Image size 240x240; Axial view
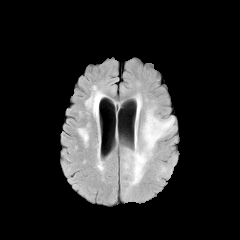
FLAIR MR image.
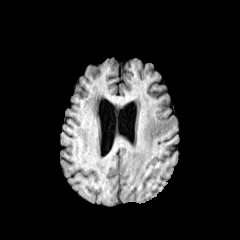
T1-weighted MR of the same slice.
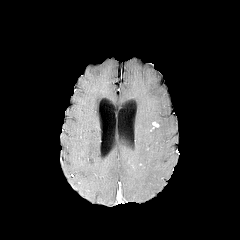
Post-contrast T1-weighted magnetic resonance of the same slice.
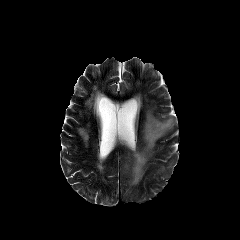
T2-weighted MR image.
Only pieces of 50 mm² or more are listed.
The largest enhancing tumor region appears at rect(150, 121, 159, 131). The largest peritumoral edema region is bounded by rect(124, 95, 174, 186).